Image size 240x240, Slice index 104, Image width 240 mm, 1.00 mm slice spacing, Axial slice
FLAIR magnetic resonance.
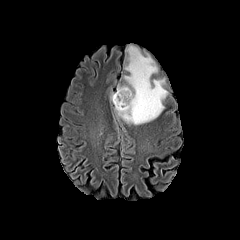
T1-weighted MR image.
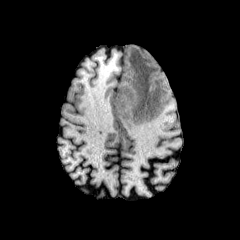
Post-contrast T1-weighted MR.
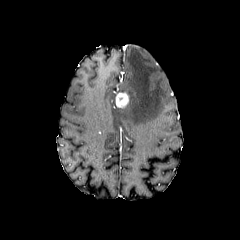
T2-weighted MRI.
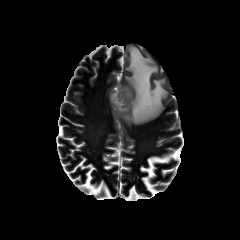
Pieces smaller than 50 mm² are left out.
<segmentation>
  <peritumoral_edema>(115, 46, 168, 124)</peritumoral_edema>
  <enhancing_tumor>(115, 92, 129, 108)</enhancing_tumor>
</segmentation>